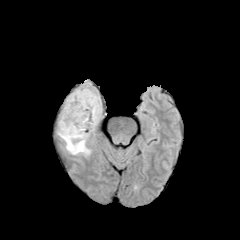
FLAIR MR.
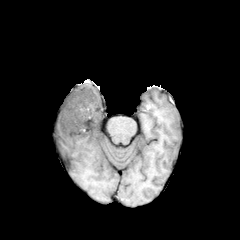
T1-weighted MR of the same slice.
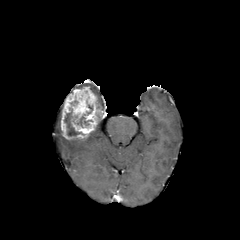
Post-contrast T1-weighted MRI of the same slice.
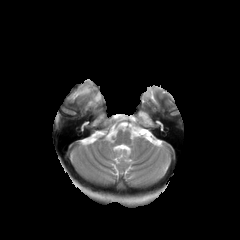
T2-weighted MR image.
240x240
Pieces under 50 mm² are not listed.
The enhancing tumor is at 61, 86, 103, 139. The largest necrotic tumor core region is at 64, 112, 81, 136. The 2 largest peritumoral edema regions are bounded by 90, 86, 100, 104; 64, 133, 95, 154.